Image width 240 mm | Brain
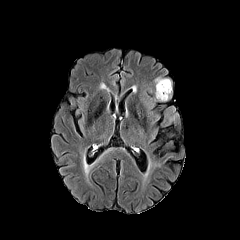
FLAIR MRI.
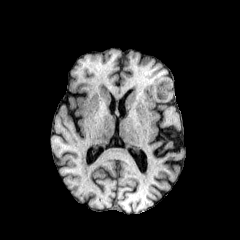
Same slice, T1-weighted MRI.
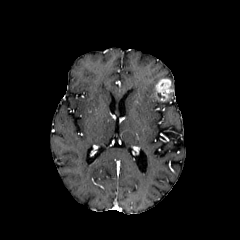
Same slice, post-contrast T1-weighted magnetic resonance.
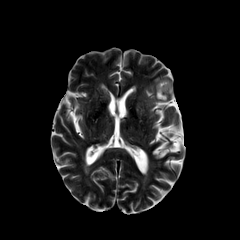
T2-weighted MRI of the same slice.
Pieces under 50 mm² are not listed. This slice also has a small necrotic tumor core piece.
enhancing tumor = region(155, 79, 172, 101)
peritumoral edema = region(166, 108, 175, 119)